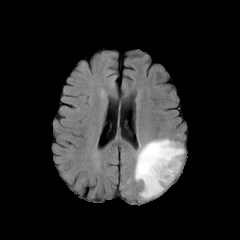
FLAIR magnetic resonance.
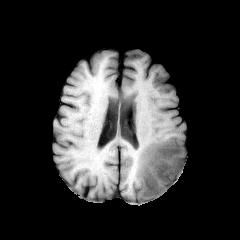
T1-weighted MR.
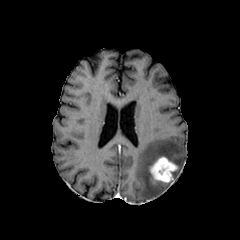
Post-contrast T1-weighted magnetic resonance.
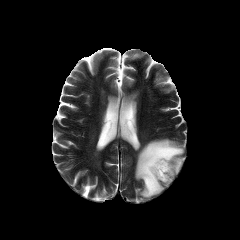
T2-weighted magnetic resonance.
Axial plane. 240x240 px. Head.
peritumoral edema = <box>134,138,184,199</box>
enhancing tumor = <box>149,156,178,183</box>